FLAIR MR.
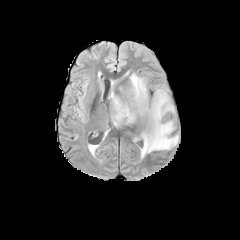
T1-weighted MR.
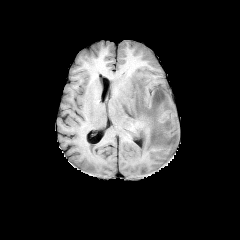
Post-contrast T1-weighted magnetic resonance.
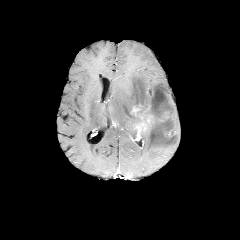
T2-weighted MR image.
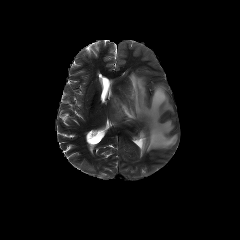
Image size 240x240 | Head
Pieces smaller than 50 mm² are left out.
peritumoral edema = [111, 73, 178, 157]
enhancing tumor = [132, 105, 153, 124]